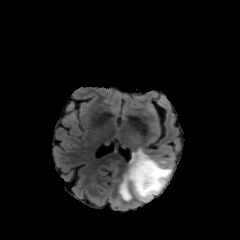
FLAIR MR image.
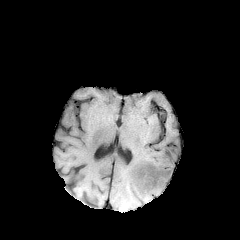
T1-weighted magnetic resonance.
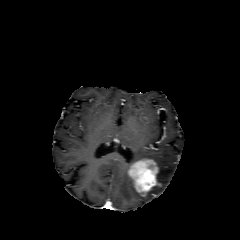
Post-contrast T1-weighted MR image.
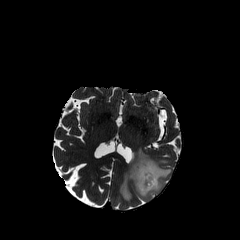
T2-weighted MR.
enhancing tumor: (128,159,161,196)
peritumoral edema: (119,148,171,201)